FLAIR MRI.
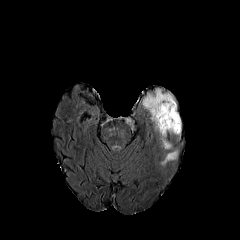
T1-weighted MR.
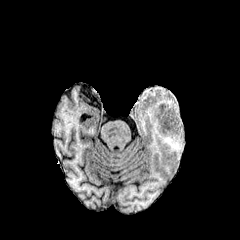
Post-contrast T1-weighted MR.
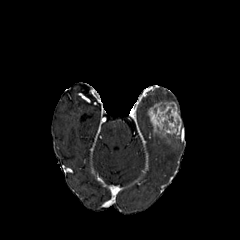
T2-weighted MR image.
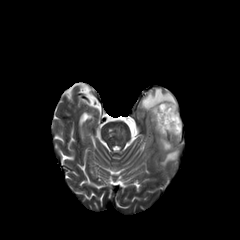
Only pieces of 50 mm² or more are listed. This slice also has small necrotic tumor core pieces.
- enhancing tumor: (148, 101, 181, 137)
- peritumoral edema: (141, 88, 175, 111), (160, 137, 172, 149), (161, 150, 178, 165)